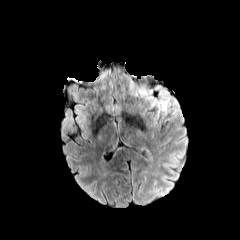
FLAIR MR.
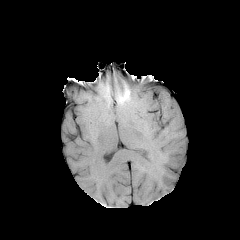
T1-weighted MR.
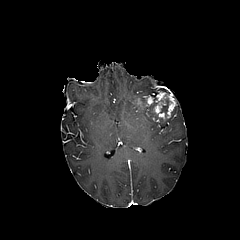
Post-contrast T1-weighted magnetic resonance.
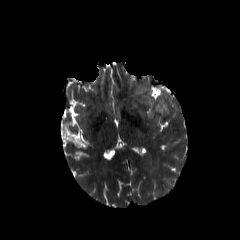
T2-weighted MRI.
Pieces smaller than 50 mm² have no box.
The peritumoral edema is located at 135 87 151 96. The largest enhancing tumor region is located at 142 90 176 118. The largest necrotic tumor core region is at 160 98 170 117.